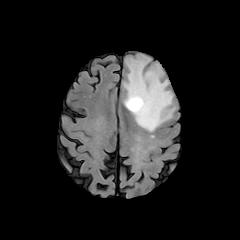
FLAIR MRI.
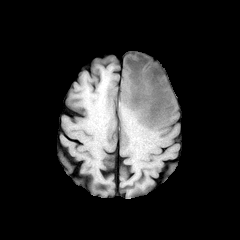
Same slice, T1-weighted MRI.
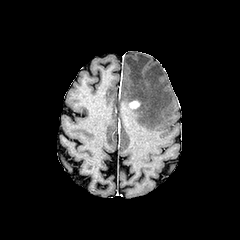
Post-contrast T1-weighted magnetic resonance of the same slice.
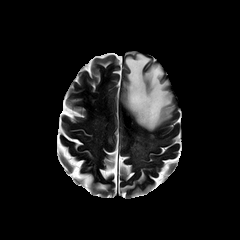
Same slice, T2-weighted MRI.
Image size 240x240, Brain
<segmentation>
  <enhancing_tumor>(left=129, top=100, right=139, bottom=108)</enhancing_tumor>
  <peritumoral_edema>(left=123, top=54, right=174, bottom=131)</peritumoral_edema>
</segmentation>